FLAIR MRI.
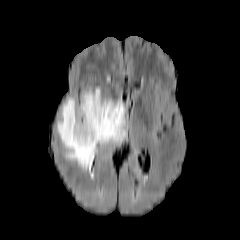
T1-weighted MR.
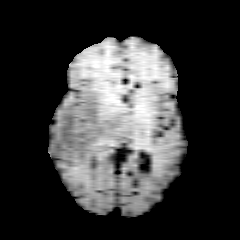
Post-contrast T1-weighted magnetic resonance.
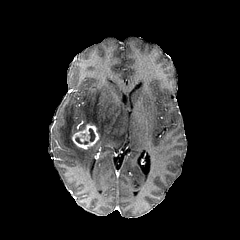
T2-weighted MR image.
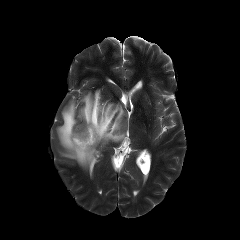
Brain
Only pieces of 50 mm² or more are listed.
<segmentation>
  <peritumoral_edema>57, 88, 127, 175</peritumoral_edema>
  <enhancing_tumor>72, 124, 99, 149</enhancing_tumor>
  <necrotic_tumor_core>89, 128, 95, 141</necrotic_tumor_core>
</segmentation>